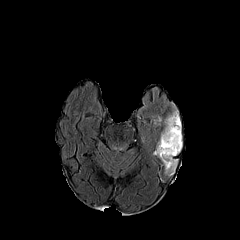
FLAIR magnetic resonance.
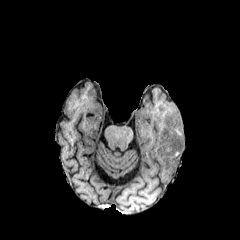
T1-weighted MR image.
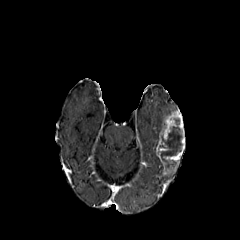
Post-contrast T1-weighted MR of the same slice.
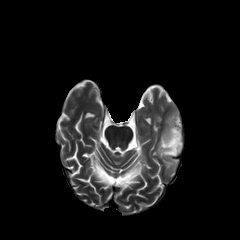
T2-weighted magnetic resonance of the same slice.
Image size 240x240 | Head
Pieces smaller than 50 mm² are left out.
enhancing_tumor:
  - (156, 110, 184, 174)
peritumoral_edema:
  - (154, 116, 161, 124)
necrotic_tumor_core:
  - (161, 126, 181, 167)